Slice 72 of 155, Brain
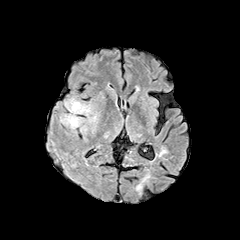
FLAIR MR image.
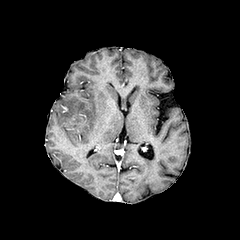
T1-weighted magnetic resonance.
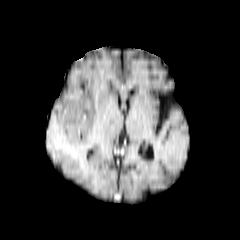
Post-contrast T1-weighted MR of the same slice.
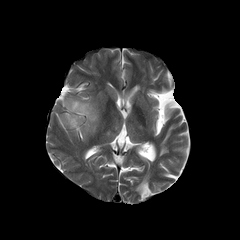
Same slice, T2-weighted magnetic resonance.
peritumoral edema at [59,96,99,134]